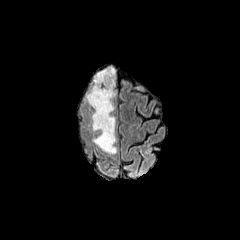
FLAIR MR image.
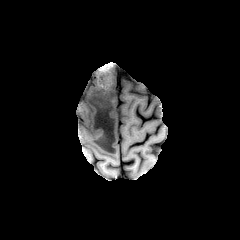
T1-weighted MR image.
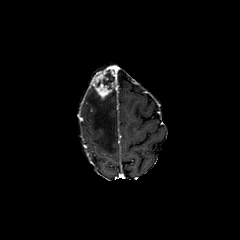
Post-contrast T1-weighted magnetic resonance.
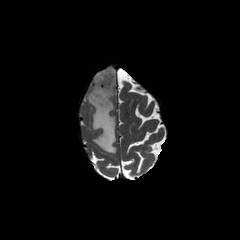
T2-weighted magnetic resonance.
Brain | 240x240 px
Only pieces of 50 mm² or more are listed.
Findings:
- necrotic tumor core: box=[97, 70, 114, 89]
- enhancing tumor: box=[90, 65, 116, 99]
- peritumoral edema: box=[86, 87, 116, 153]